Axial view, 240x240
FLAIR MR image.
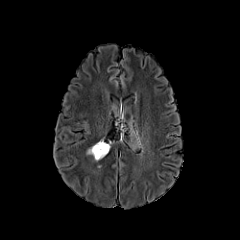
T1-weighted MR image.
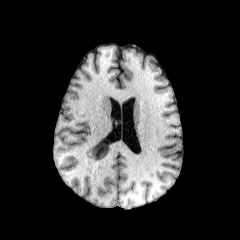
Post-contrast T1-weighted MR.
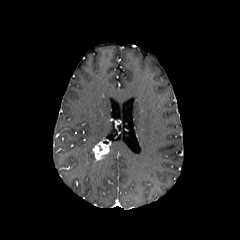
T2-weighted MR image.
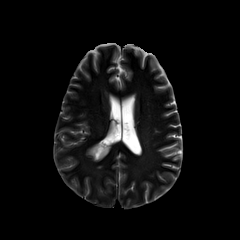
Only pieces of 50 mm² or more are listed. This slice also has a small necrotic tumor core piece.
The enhancing tumor lies within 92,141,109,160. The peritumoral edema is bounded by 86,145,96,160.